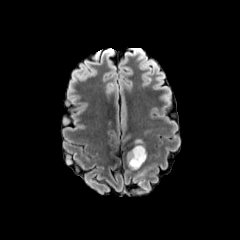
FLAIR MRI.
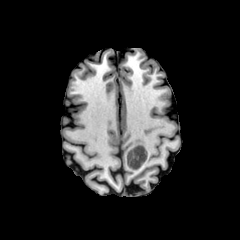
T1-weighted MRI of the same slice.
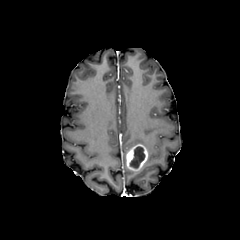
Post-contrast T1-weighted magnetic resonance.
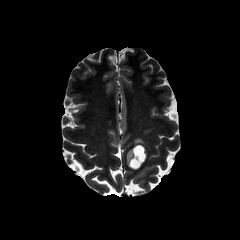
Same slice, T2-weighted MR image.
Image size 240x240
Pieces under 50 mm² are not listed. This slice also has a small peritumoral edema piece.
enhancing tumor: 126 144 147 170
necrotic tumor core: 130 146 144 168